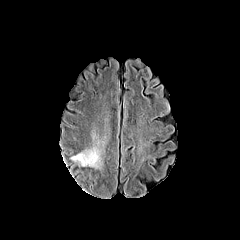
FLAIR MR.
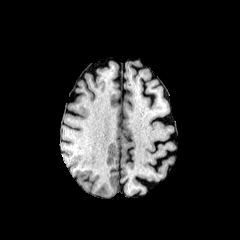
T1-weighted magnetic resonance.
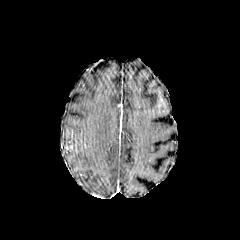
Post-contrast T1-weighted MR image.
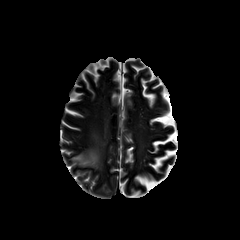
T2-weighted MR of the same slice.
240x240
peritumoral_edema:
  - <bbox>72, 149, 98, 165</bbox>